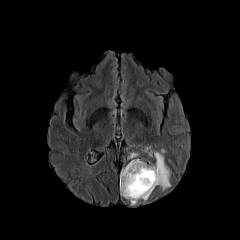
FLAIR magnetic resonance.
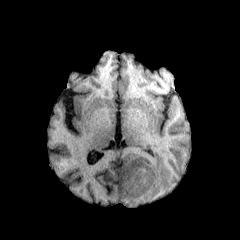
Same slice, T1-weighted MR.
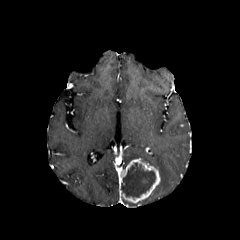
Same slice, post-contrast T1-weighted MRI.
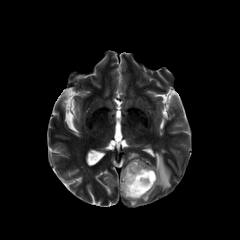
T2-weighted MR.
Head
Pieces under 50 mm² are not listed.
Findings:
• peritumoral edema: (128, 152, 138, 159), (153, 149, 171, 190)
• enhancing tumor: (119, 158, 160, 203)
• necrotic tumor core: (121, 163, 155, 197)